FLAIR MR image.
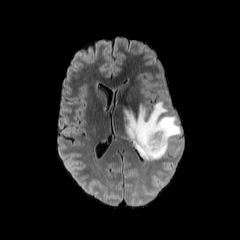
T1-weighted MRI.
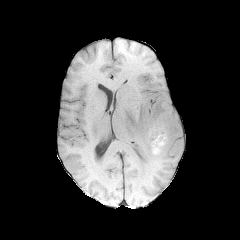
Post-contrast T1-weighted MR image.
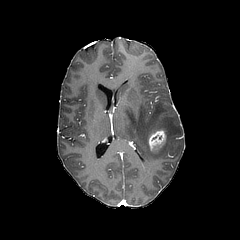
T2-weighted magnetic resonance.
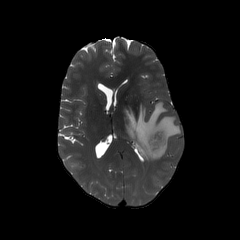
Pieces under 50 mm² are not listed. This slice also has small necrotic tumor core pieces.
peritumoral edema — bbox(125, 100, 181, 160)
enhancing tumor — bbox(148, 129, 166, 150)